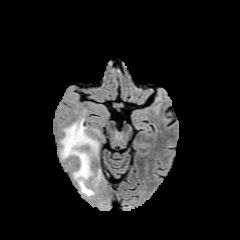
FLAIR magnetic resonance.
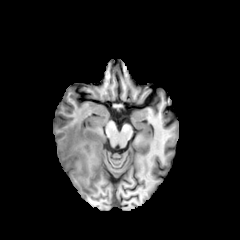
T1-weighted MR image.
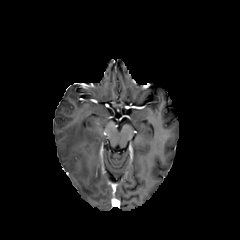
Post-contrast T1-weighted MRI of the same slice.
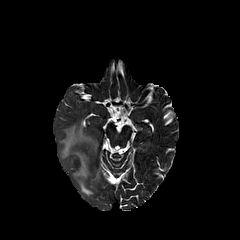
T2-weighted MR.
Head
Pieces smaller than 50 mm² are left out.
peritumoral_edema:
  - box=[60, 118, 98, 196]